Slice index 46 | Head | Image covers 240 mm x 240 mm
FLAIR magnetic resonance.
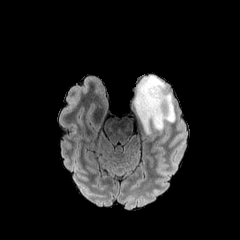
T1-weighted MR.
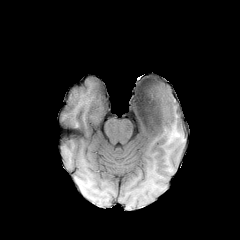
Post-contrast T1-weighted MR.
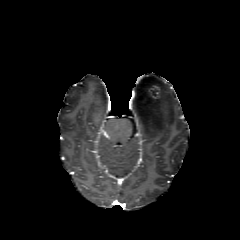
T2-weighted MR image.
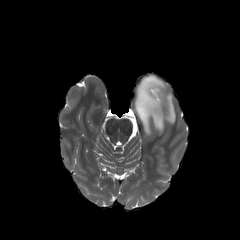
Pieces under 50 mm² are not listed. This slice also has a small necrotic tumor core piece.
peritumoral edema: <bbox>132, 75, 175, 135</bbox> | enhancing tumor: <bbox>149, 85, 159, 98</bbox>